FLAIR MR.
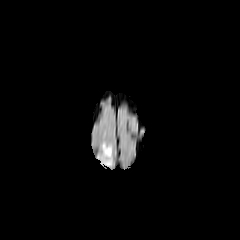
T1-weighted MRI.
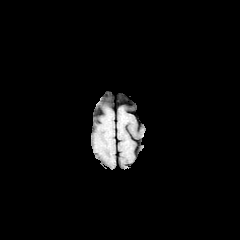
Post-contrast T1-weighted MR image.
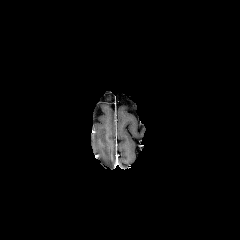
T2-weighted MR.
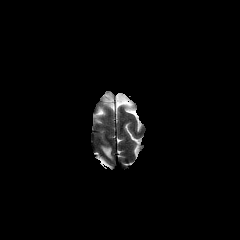
Brain; Axial view
{
  "peritumoral_edema": [
    "[98,157,111,166]",
    "[102,143,111,158]"
  ]
}